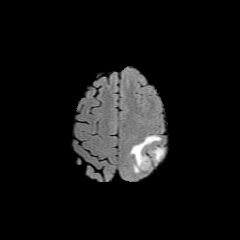
FLAIR MRI.
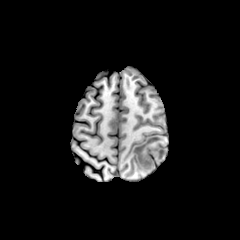
T1-weighted MRI.
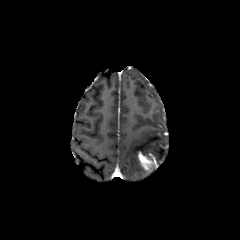
Post-contrast T1-weighted MR image.
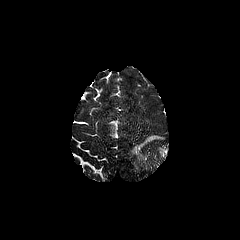
Same slice, T2-weighted magnetic resonance.
Axial plane | Brain
<segmentation>
  <peritumoral_edema><box>130,136,161,172</box>, <box>152,148,164,160</box></peritumoral_edema>
  <enhancing_tumor><box>137,150,157,171</box></enhancing_tumor>
</segmentation>